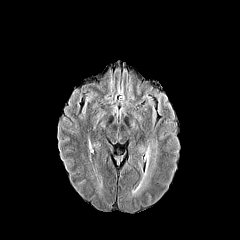
FLAIR magnetic resonance.
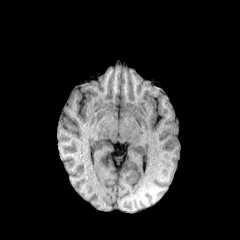
T1-weighted magnetic resonance.
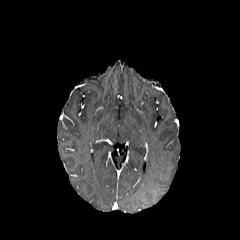
Post-contrast T1-weighted MR.
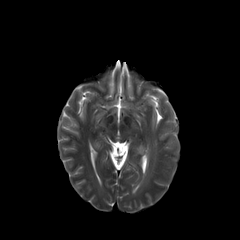
T2-weighted MRI.
Image size 240x240
peritumoral edema: x1=132 y1=173 x2=150 y2=194